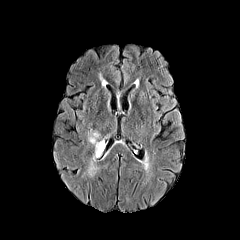
FLAIR MR.
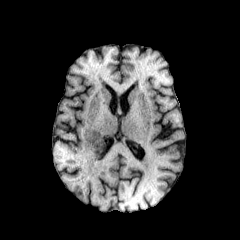
Same slice, T1-weighted MRI.
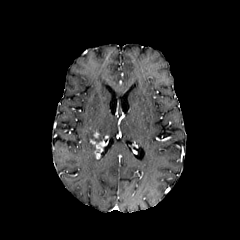
Post-contrast T1-weighted MRI.
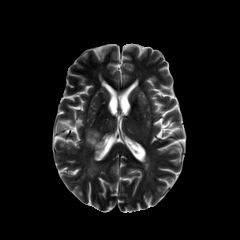
T2-weighted MR image.
Axial plane. Head.
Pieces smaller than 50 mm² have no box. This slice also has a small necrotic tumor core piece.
<segmentation>
  <enhancing_tumor>bbox(90, 140, 108, 159)</enhancing_tumor>
  <peritumoral_edema>bbox(86, 127, 100, 142); bbox(85, 146, 99, 179)</peritumoral_edema>
</segmentation>